Brain | Axial slice | Image width 240 mm
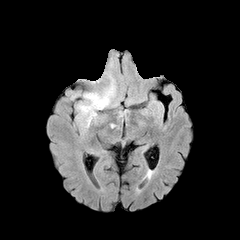
FLAIR magnetic resonance.
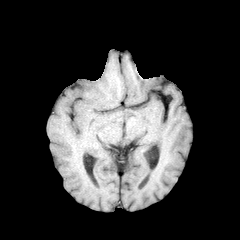
T1-weighted magnetic resonance of the same slice.
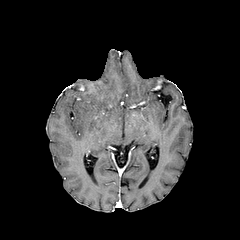
Post-contrast T1-weighted MR of the same slice.
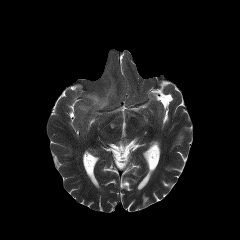
T2-weighted MRI.
peritumoral edema: bounding box <box>76,75,118,132</box>